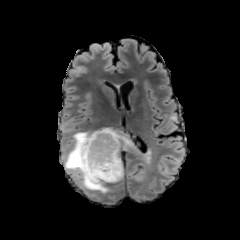
FLAIR MR.
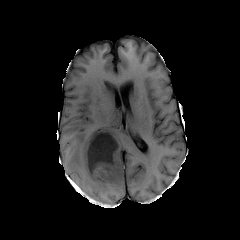
T1-weighted magnetic resonance.
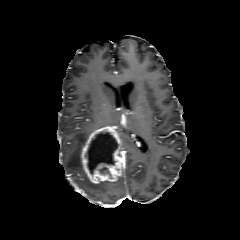
Post-contrast T1-weighted MR.
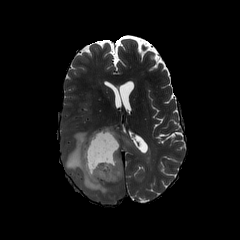
T2-weighted MR image of the same slice.
240x240 px; Brain
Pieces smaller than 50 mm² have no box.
Segmented structures:
- peritumoral edema: box(119, 133, 130, 148); box(65, 131, 115, 193)
- necrotic tumor core: box(85, 132, 118, 174)
- enhancing tumor: box(81, 125, 123, 183)